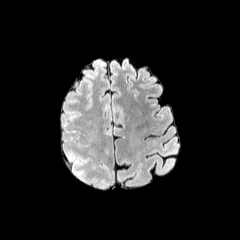
FLAIR MRI.
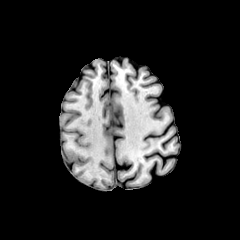
T1-weighted MR image of the same slice.
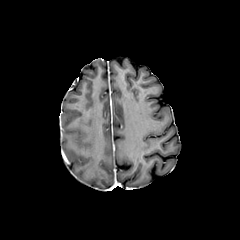
Post-contrast T1-weighted MR.
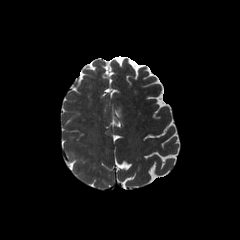
T2-weighted MR image.
Head; Image size 240x240
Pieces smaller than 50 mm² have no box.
The largest peritumoral edema region appears at 67 151 81 159.